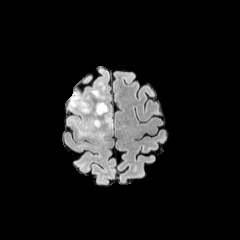
FLAIR MR image.
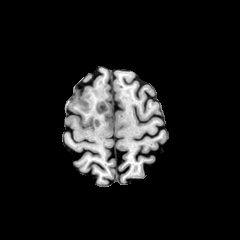
T1-weighted MRI.
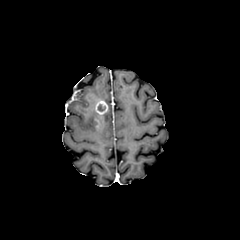
Post-contrast T1-weighted MRI.
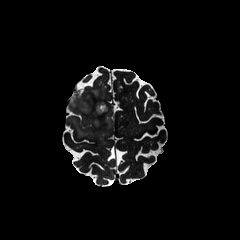
T2-weighted MR image.
Head.
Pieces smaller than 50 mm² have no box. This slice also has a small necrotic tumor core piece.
peritumoral edema — [x1=69, y1=93, x2=92, y2=113], [x1=104, y1=105, x2=111, y2=128], [x1=90, y1=87, x2=105, y2=100], [x1=78, y1=118, x2=106, y2=138]
enhancing tumor — [x1=94, y1=100, x2=108, y2=116]